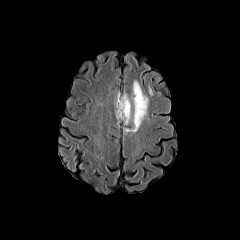
FLAIR magnetic resonance.
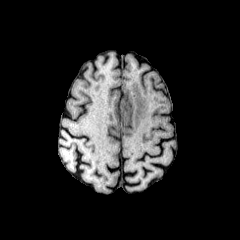
T1-weighted MR.
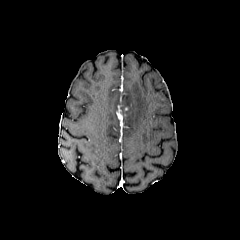
Post-contrast T1-weighted MR of the same slice.
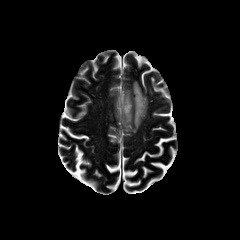
T2-weighted MRI.
Axial view. Image size 240x240. Brain.
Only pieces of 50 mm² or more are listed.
Findings:
• enhancing tumor: 117:105:122:119
• peritumoral edema: 125:81:148:132, 116:94:131:124